FLAIR MRI.
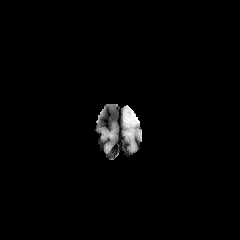
T1-weighted MR.
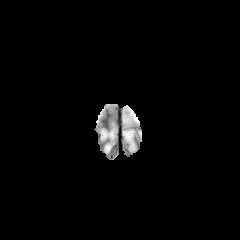
Post-contrast T1-weighted magnetic resonance.
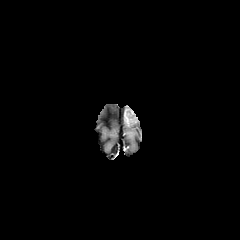
T2-weighted MRI.
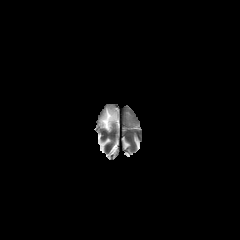
Head | Axial view
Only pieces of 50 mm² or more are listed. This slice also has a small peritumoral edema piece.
The enhancing tumor is bounded by x1=124, y1=110, x2=135, y2=126.